Axial view, 240x240, Brain, Slice index 104
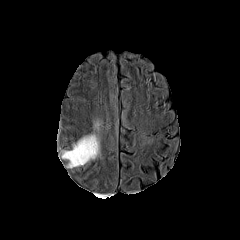
FLAIR MR.
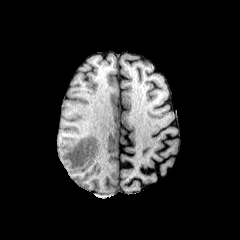
T1-weighted MR.
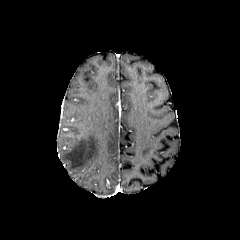
Post-contrast T1-weighted MR image.
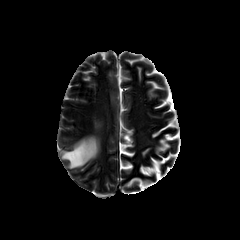
Same slice, T2-weighted MRI.
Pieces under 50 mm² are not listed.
peritumoral_edema:
  - [61,134,99,169]